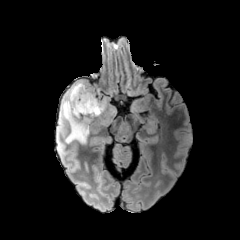
FLAIR MR.
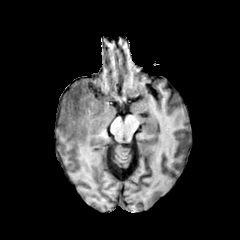
T1-weighted MRI of the same slice.
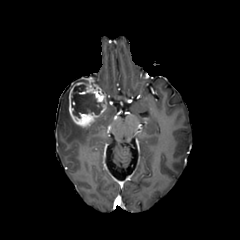
Same slice, post-contrast T1-weighted MR image.
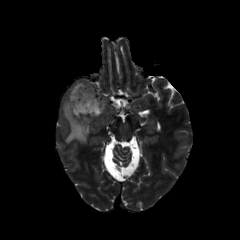
T2-weighted MRI of the same slice.
Brain, 240x240
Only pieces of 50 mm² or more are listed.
Annotated regions:
* enhancing tumor: (68,81,107,127)
* necrotic tumor core: (71,84,103,117)
* peritumoral edema: (60,89,89,143)